FLAIR MR.
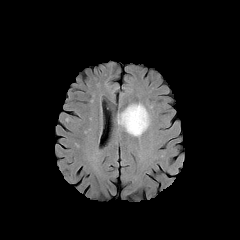
T1-weighted magnetic resonance.
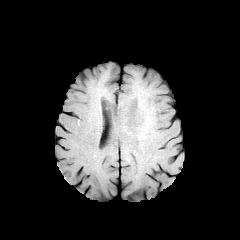
Post-contrast T1-weighted magnetic resonance.
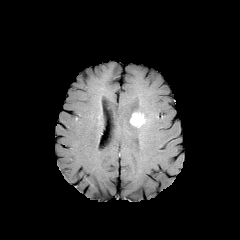
T2-weighted MRI.
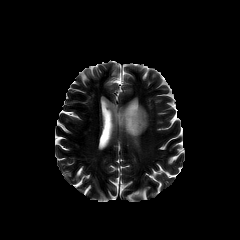
Image size 240x240
<segmentation>
  <enhancing_tumor>(129, 112, 145, 127)</enhancing_tumor>
  <peritumoral_edema>(117, 103, 149, 136)</peritumoral_edema>
</segmentation>